Brain.
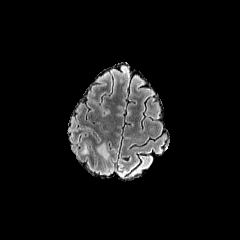
FLAIR magnetic resonance.
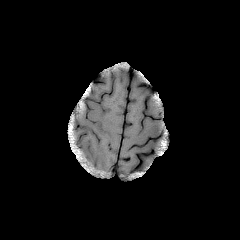
T1-weighted MRI of the same slice.
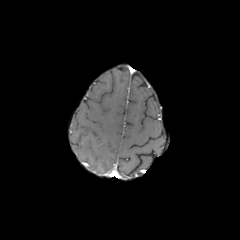
Post-contrast T1-weighted MRI.
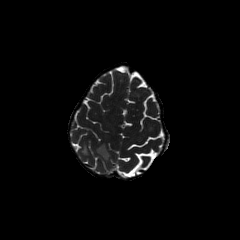
T2-weighted MR image.
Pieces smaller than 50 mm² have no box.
<segmentation>
  <peritumoral_edema>(x1=97, y1=143, x2=109, y2=158)</peritumoral_edema>
</segmentation>